FLAIR MR.
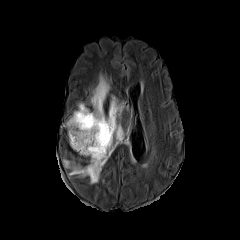
T1-weighted MRI.
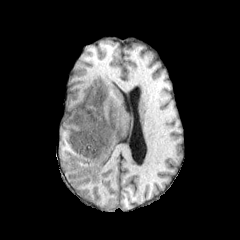
Post-contrast T1-weighted MR image.
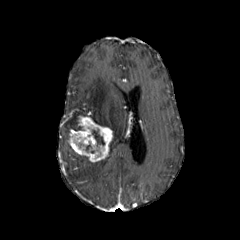
T2-weighted MR image.
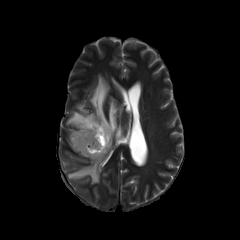
Axial view
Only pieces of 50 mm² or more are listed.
peritumoral edema = x1=66, y1=103, x2=88, y2=132; x1=68, y1=75, x2=124, y2=183
necrotic tumor core = x1=92, y1=130, x2=104, y2=145
enhancing tumor = x1=69, y1=113, x2=112, y2=162